Axial view. Head.
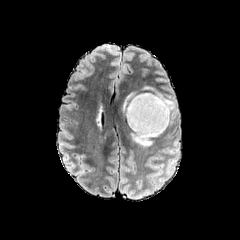
FLAIR MR.
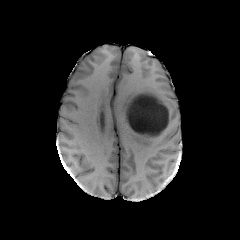
T1-weighted MRI of the same slice.
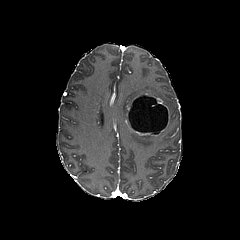
Post-contrast T1-weighted MRI of the same slice.
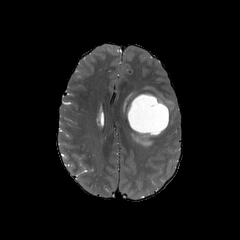
T2-weighted magnetic resonance.
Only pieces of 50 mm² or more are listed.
enhancing tumor — [126, 92, 169, 136]
peritumoral edema — [155, 95, 171, 106], [124, 94, 135, 113], [131, 132, 152, 146]
necrotic tumor core — [128, 95, 167, 134]